Head; Axial slice
FLAIR MRI.
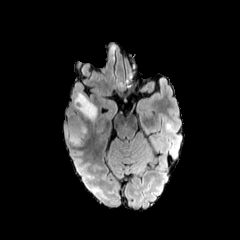
T1-weighted MR.
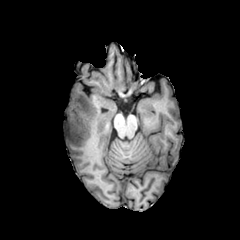
Post-contrast T1-weighted MR.
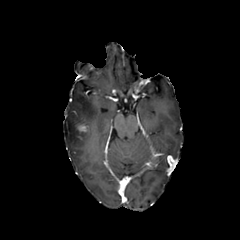
T2-weighted MRI.
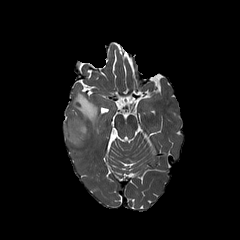
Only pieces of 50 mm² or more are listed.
peritumoral edema — box(64, 92, 97, 145)
enhancing tumor — box(75, 121, 87, 132)